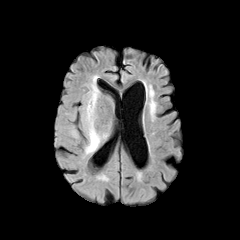
FLAIR magnetic resonance.
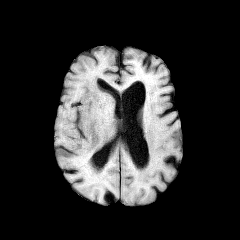
T1-weighted MRI.
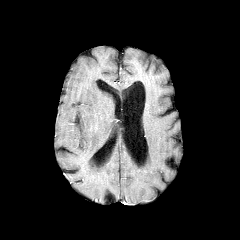
Post-contrast T1-weighted MRI.
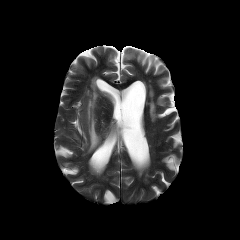
Same slice, T2-weighted MR image.
240x240 px
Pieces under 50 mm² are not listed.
peritumoral edema: [82, 90, 106, 154]